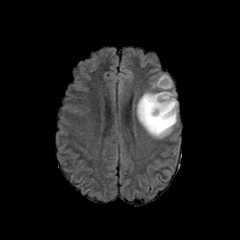
FLAIR MR.
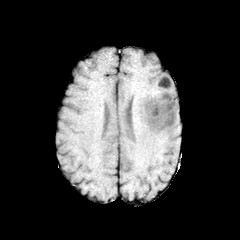
T1-weighted magnetic resonance.
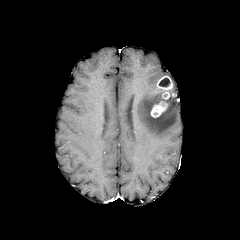
Post-contrast T1-weighted magnetic resonance.
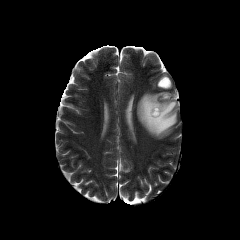
Same slice, T2-weighted MR image.
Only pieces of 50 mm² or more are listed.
{"necrotic_tumor_core": ["box(159, 78, 170, 86)"], "peritumoral_edema": ["box(137, 90, 177, 138)"], "enhancing_tumor": ["box(157, 76, 172, 99)", "box(150, 101, 168, 117)"]}